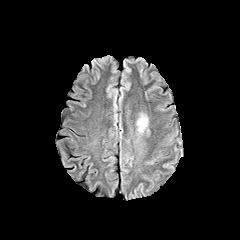
FLAIR MRI.
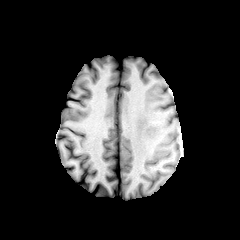
Same slice, T1-weighted magnetic resonance.
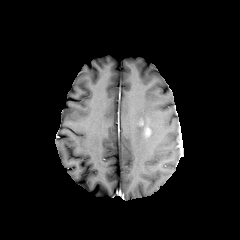
Post-contrast T1-weighted MR of the same slice.
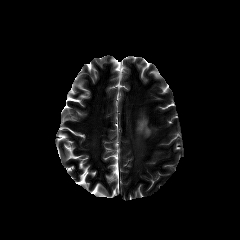
T2-weighted MR image.
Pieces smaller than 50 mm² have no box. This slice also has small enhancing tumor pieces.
peritumoral_edema:
  - 137 117 147 133